Brain
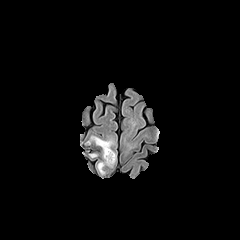
FLAIR MR.
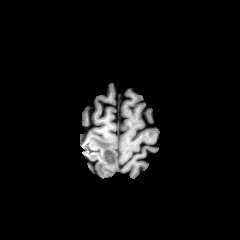
T1-weighted magnetic resonance.
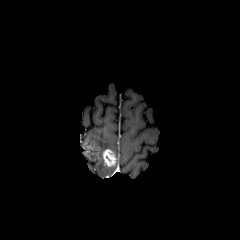
Post-contrast T1-weighted MR image of the same slice.
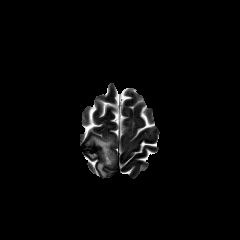
T2-weighted MR image of the same slice.
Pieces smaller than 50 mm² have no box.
Findings:
• enhancing tumor: [102,149,116,166]
• peritumoral edema: [97,159,106,174], [87,135,114,150]